FLAIR MR.
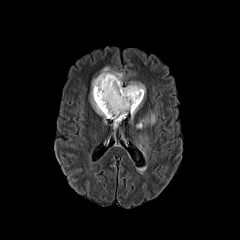
T1-weighted MRI.
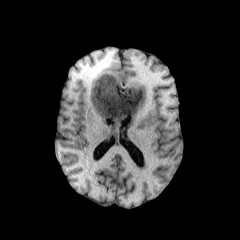
Post-contrast T1-weighted MR.
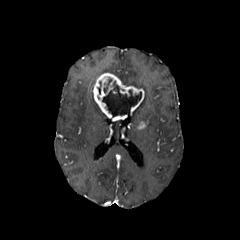
T2-weighted MR.
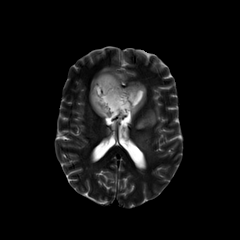
Axial view, Brain
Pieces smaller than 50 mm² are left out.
<segmentation>
  <enhancing_tumor>137,120,148,129; 92,73,144,120</enhancing_tumor>
  <peritumoral_edema>139,112,156,125; 128,81,145,93; 90,67,124,122; 139,136,147,150</peritumoral_edema>
  <necrotic_tumor_core>102,81,141,117</necrotic_tumor_core>
</segmentation>